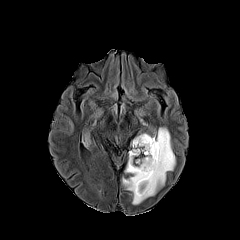
FLAIR MRI.
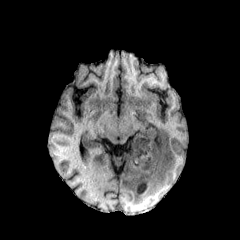
Same slice, T1-weighted MR.
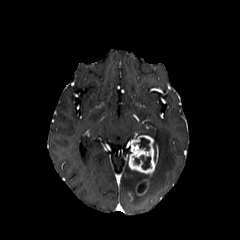
Post-contrast T1-weighted MR image.
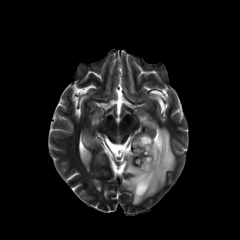
Same slice, T2-weighted MR image.
Brain | Image size 240x240
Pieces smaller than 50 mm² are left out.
Annotated regions:
- peritumoral edema: x1=122, y1=127, x2=175, y2=204; x1=83, y1=132, x2=90, y2=147
- enhancing tumor: x1=128, y1=135, x2=158, y2=175; x1=137, y1=179, x2=148, y2=195
- necrotic tumor core: x1=135, y1=155, x2=150, y2=169; x1=138, y1=138, x2=149, y2=150; x1=137, y1=182, x2=146, y2=193